Image covers 240 mm x 240 mm. Axial plane.
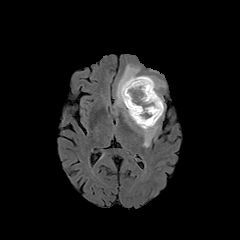
FLAIR MRI.
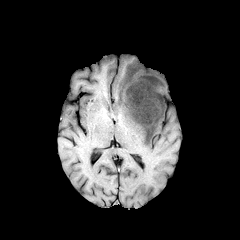
Same slice, T1-weighted magnetic resonance.
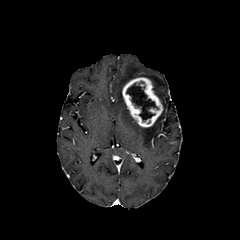
Post-contrast T1-weighted MR.
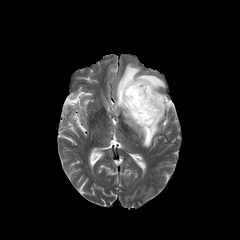
T2-weighted MRI of the same slice.
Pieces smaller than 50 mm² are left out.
necrotic tumor core at (126,83,158,120)
enhancing tumor at (122,77,163,127)
peritumoral edema at (116,64,165,147)